Brain
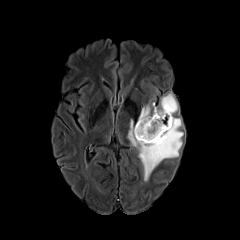
FLAIR MR.
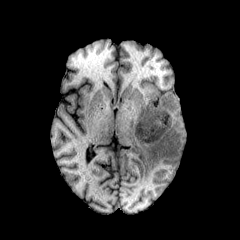
T1-weighted MRI of the same slice.
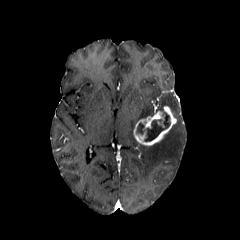
Same slice, post-contrast T1-weighted MR.
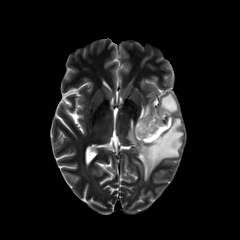
T2-weighted magnetic resonance.
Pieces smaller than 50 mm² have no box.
enhancing tumor — box(133, 106, 176, 146)
peritumoral edema — box(138, 105, 154, 120); box(127, 118, 183, 181); box(156, 93, 178, 114)
necrotic tumor core — box(144, 112, 170, 141); box(137, 123, 144, 134)